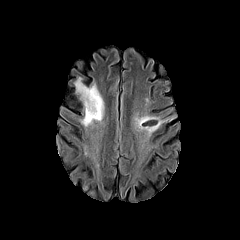
FLAIR magnetic resonance.
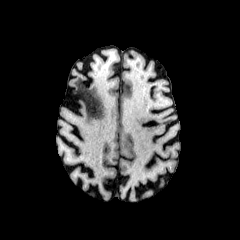
T1-weighted MRI.
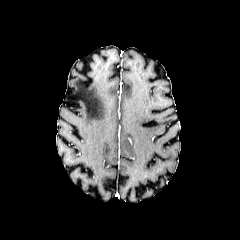
Post-contrast T1-weighted magnetic resonance of the same slice.
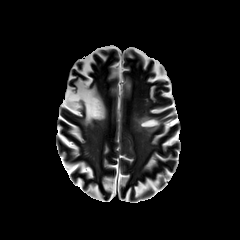
Same slice, T2-weighted MRI.
Head | Image size 240x240
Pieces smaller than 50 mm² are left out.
peritumoral_edema:
  - bbox=[135, 116, 164, 135]
  - bbox=[75, 77, 104, 126]